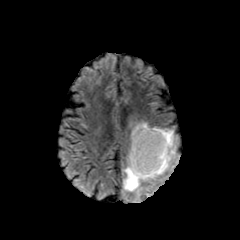
FLAIR MRI.
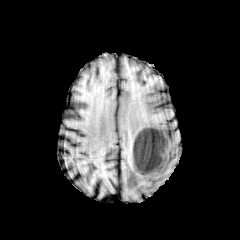
T1-weighted magnetic resonance.
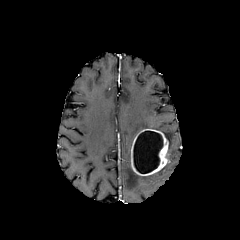
Post-contrast T1-weighted MR image of the same slice.
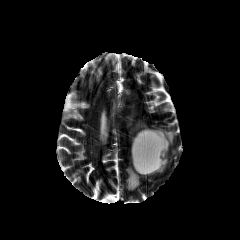
T2-weighted MRI.
240x240 px, Brain
2 peritumoral edema regions are located at 124 127 175 191, 131 122 149 145. The enhancing tumor is located at 131 128 169 175. The necrotic tumor core lies within 133 131 162 173.